Image size 240x240 | Axial plane | Head | Slice 87/155
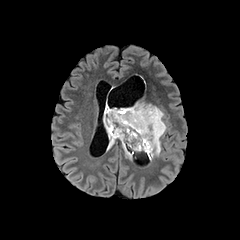
FLAIR MR image.
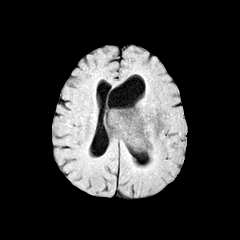
Same slice, T1-weighted magnetic resonance.
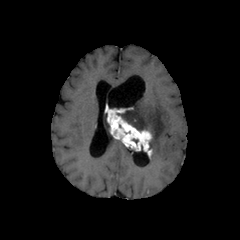
Same slice, post-contrast T1-weighted MR image.
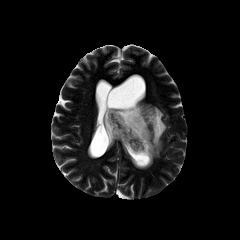
T2-weighted MR image.
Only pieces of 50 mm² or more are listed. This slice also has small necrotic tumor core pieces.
The enhancing tumor is located at <box>105,105,152,157</box>. 3 peritumoral edema regions are bounded by <box>117,102,166,159</box>, <box>122,143,131,159</box>, <box>103,111,115,150</box>.